Axial view, Head, Slice 47 of 155
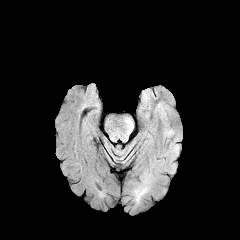
FLAIR magnetic resonance.
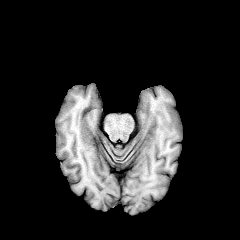
T1-weighted MR.
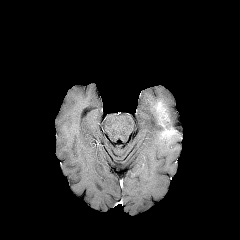
Post-contrast T1-weighted MR image.
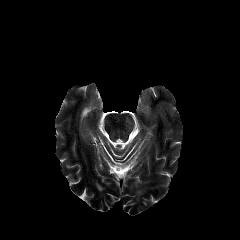
T2-weighted magnetic resonance.
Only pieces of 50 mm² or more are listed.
The largest peritumoral edema region lies within 155 101 172 136. The largest enhancing tumor region appears at 157 102 165 116.